Head. Image width 240 mm, 1.00 mm slice spacing.
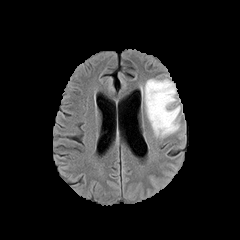
FLAIR magnetic resonance.
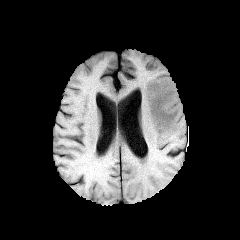
T1-weighted magnetic resonance of the same slice.
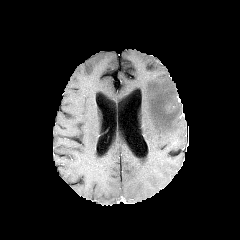
Post-contrast T1-weighted magnetic resonance of the same slice.
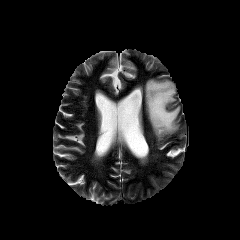
Same slice, T2-weighted MR.
The peritumoral edema appears at 141:79:180:137.